FLAIR MRI.
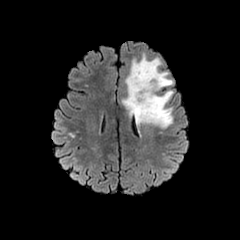
T1-weighted magnetic resonance.
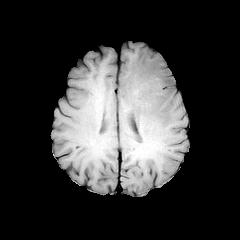
Post-contrast T1-weighted MR image.
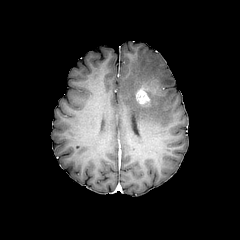
T2-weighted MRI.
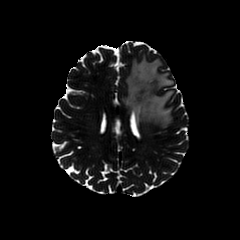
Head
<segmentation>
  <peritumoral_edema>122 55 173 128</peritumoral_edema>
  <enhancing_tumor>136 87 150 104</enhancing_tumor>
</segmentation>